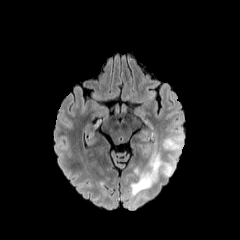
FLAIR MR image.
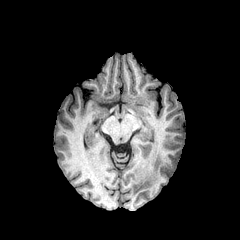
T1-weighted MR image.
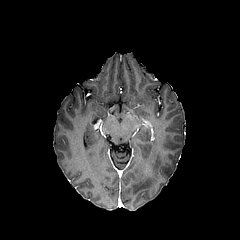
Post-contrast T1-weighted MR.
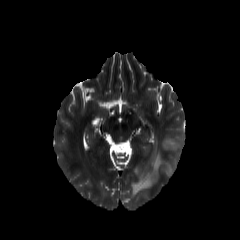
T2-weighted magnetic resonance.
240x240; Head
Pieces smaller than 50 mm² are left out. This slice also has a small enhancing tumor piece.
{
  "peritumoral_edema": [
    "[130, 131, 183, 196]"
  ]
}